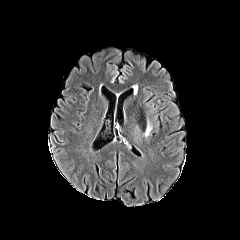
FLAIR MRI.
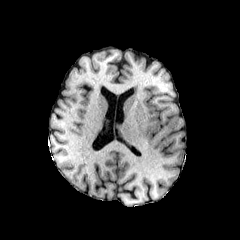
T1-weighted MR.
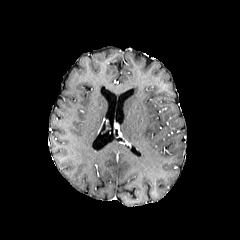
Post-contrast T1-weighted MR of the same slice.
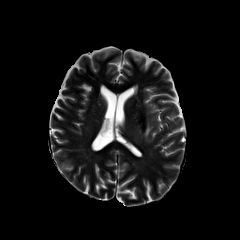
T2-weighted MRI.
240x240 | Head
The peritumoral edema is at [x1=145, y1=117, x2=152, y2=136].